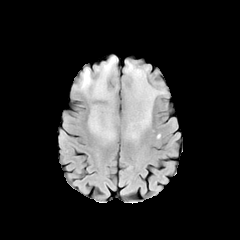
FLAIR MRI.
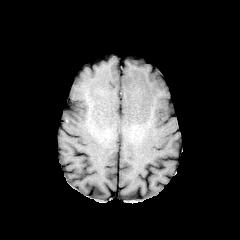
T1-weighted MRI of the same slice.
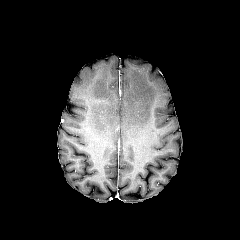
Same slice, post-contrast T1-weighted MRI.
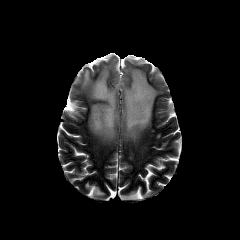
T2-weighted MR image.
peritumoral edema at [79,56,119,139], [121,61,164,138]